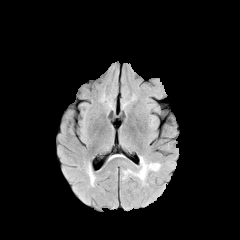
FLAIR magnetic resonance.
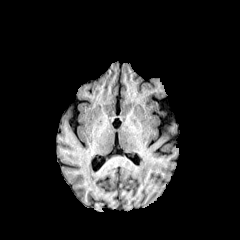
Same slice, T1-weighted magnetic resonance.
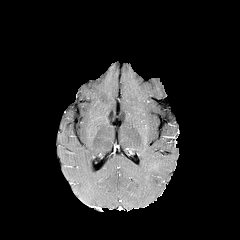
Post-contrast T1-weighted MR image.
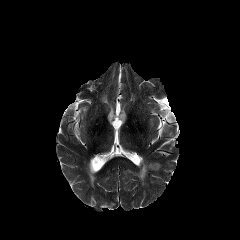
T2-weighted MRI.
Axial slice, Image size 240x240
<segmentation>
  <peritumoral_edema>x1=123 y1=156 x2=160 y2=184</peritumoral_edema>
</segmentation>